Image size 240x240, Slice 68/155
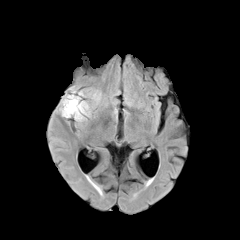
FLAIR MR image.
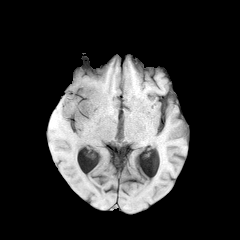
T1-weighted MRI of the same slice.
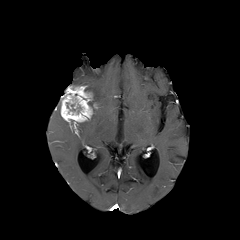
Post-contrast T1-weighted MR image.
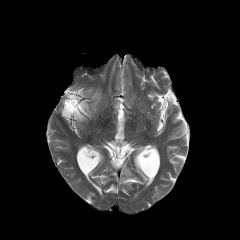
T2-weighted MRI.
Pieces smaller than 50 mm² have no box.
peritumoral edema: 85,89,100,109
enhancing tumor: 61,86,92,125